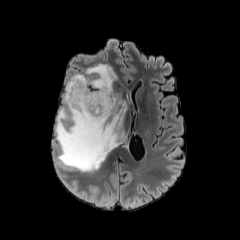
FLAIR MR.
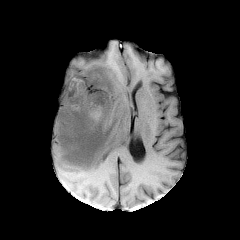
T1-weighted magnetic resonance.
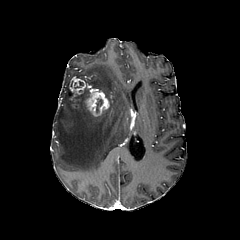
Post-contrast T1-weighted MRI.
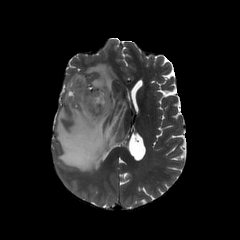
T2-weighted MR image.
Axial view
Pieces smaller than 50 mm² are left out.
{
  "peritumoral_edema": [
    "left=56, top=64, right=126, bottom=171"
  ],
  "enhancing_tumor": [
    "left=69, top=76, right=109, bottom=116"
  ],
  "necrotic_tumor_core": [
    "left=96, top=98, right=102, bottom=112"
  ]
}